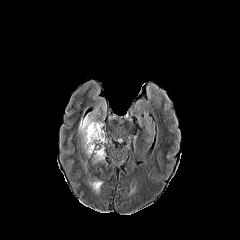
FLAIR magnetic resonance.
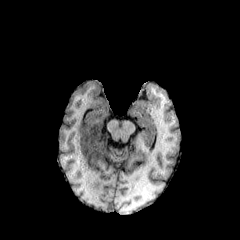
T1-weighted magnetic resonance.
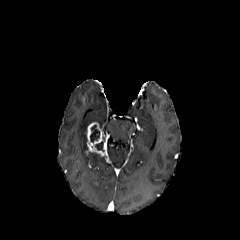
Same slice, post-contrast T1-weighted MRI.
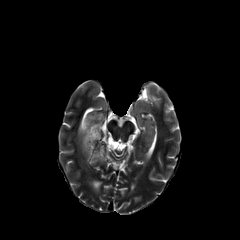
Same slice, T2-weighted MRI.
Brain
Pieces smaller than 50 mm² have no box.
The 2 largest necrotic tumor core regions are bounded by (left=95, top=141, right=104, bottom=151), (left=90, top=125, right=99, bottom=142). The 3 largest peritumoral edema regions are located at (left=78, top=109, right=102, bottom=152), (left=87, top=152, right=104, bottom=162), (left=89, top=180, right=102, bottom=193). The enhancing tumor lies within (left=86, top=122, right=107, bottom=156).